Image covers 240 mm x 240 mm | Slice 64 of 155 | 240x240 | Brain | Axial slice
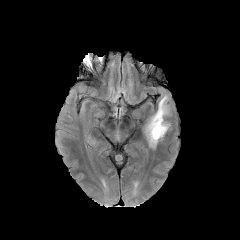
FLAIR MR image.
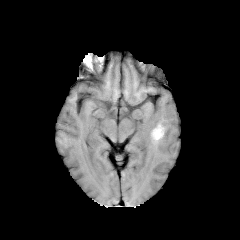
T1-weighted MR of the same slice.
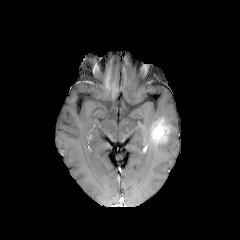
Post-contrast T1-weighted MR image of the same slice.
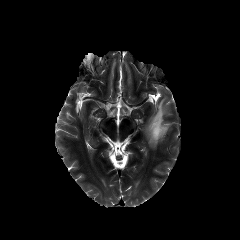
T2-weighted MRI of the same slice.
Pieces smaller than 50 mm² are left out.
The largest peritumoral edema region is at 144:96:169:148. The enhancing tumor appears at 151:119:169:143.